FLAIR MR.
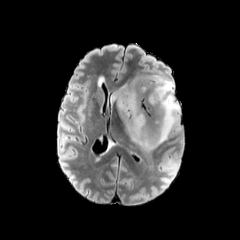
T1-weighted MRI.
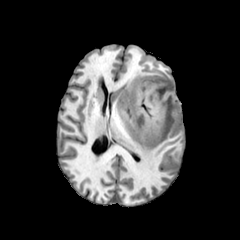
Post-contrast T1-weighted magnetic resonance.
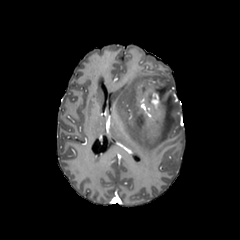
T2-weighted MR.
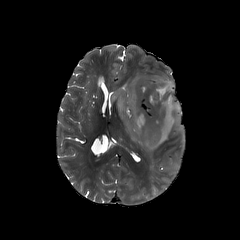
Axial view | 240x240
{"peritumoral_edema": ["111:71:180:153"], "enhancing_tumor": ["150:93:160:114"]}